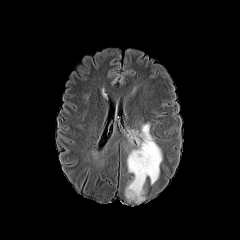
FLAIR magnetic resonance.
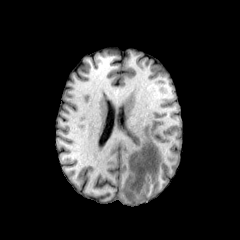
T1-weighted magnetic resonance.
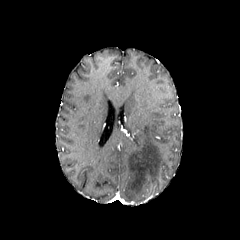
Post-contrast T1-weighted magnetic resonance of the same slice.
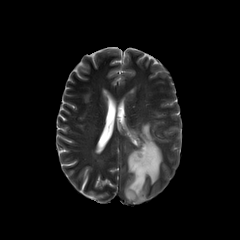
Same slice, T2-weighted MRI.
240x240 px. Axial plane. Brain.
peritumoral edema: 101:87:108:100, 112:139:120:152, 125:121:162:204